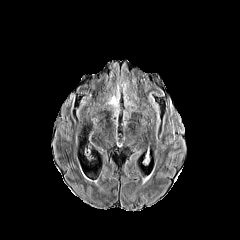
FLAIR MRI.
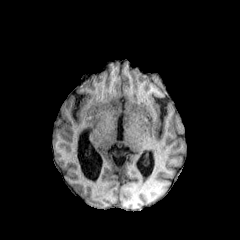
T1-weighted MR image.
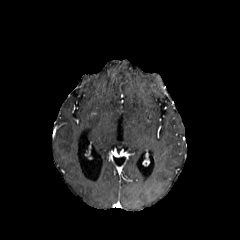
Post-contrast T1-weighted MRI.
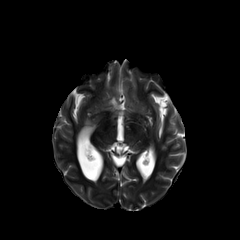
T2-weighted MRI.
Annotated regions:
• peritumoral edema: 110:96:118:107